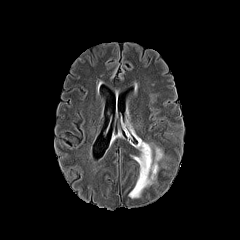
FLAIR magnetic resonance.
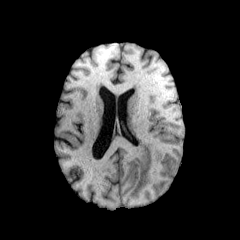
T1-weighted magnetic resonance.
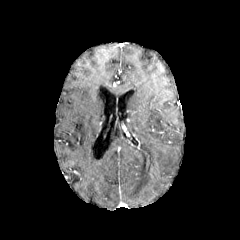
Same slice, post-contrast T1-weighted MR image.
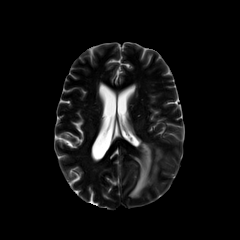
T2-weighted MR image.
Head, Axial slice
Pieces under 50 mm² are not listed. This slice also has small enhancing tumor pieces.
peritumoral edema = x1=129, y1=138, x2=163, y2=198